FLAIR MRI.
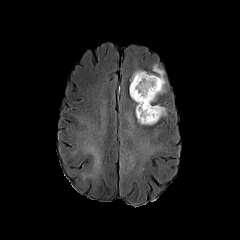
T1-weighted MRI.
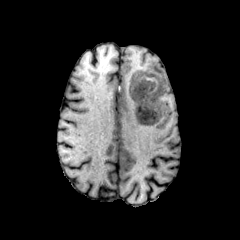
Post-contrast T1-weighted magnetic resonance.
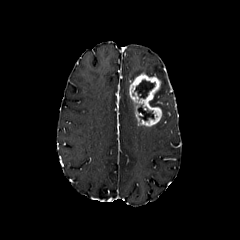
T2-weighted magnetic resonance.
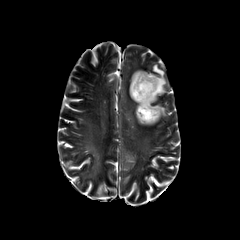
Axial plane. Brain.
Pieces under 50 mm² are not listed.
2 necrotic tumor core regions are bounded by <box>138,106,154,120</box>, <box>134,80,154,98</box>. The largest enhancing tumor region is at <box>129,73,162,126</box>. 3 peritumoral edema regions are located at <box>149,64,166,104</box>, <box>130,70,155,83</box>, <box>152,105,166,116</box>.